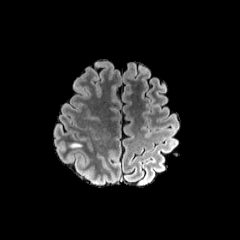
FLAIR magnetic resonance.
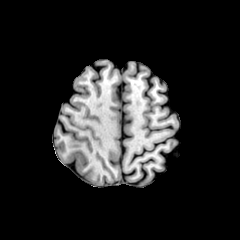
Same slice, T1-weighted magnetic resonance.
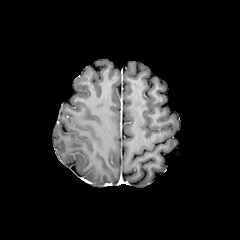
Same slice, post-contrast T1-weighted MR image.
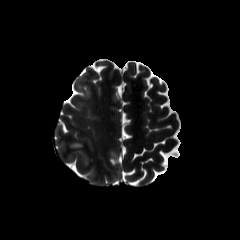
T2-weighted MRI.
Head; Axial view
peritumoral edema: bounding box bbox(69, 143, 81, 147)